FLAIR MR.
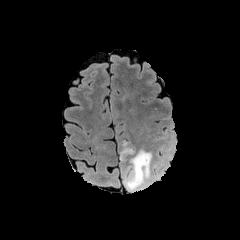
T1-weighted MR image.
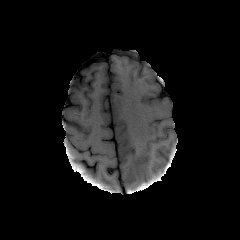
Post-contrast T1-weighted MRI.
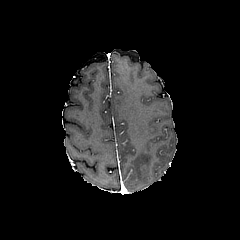
T2-weighted magnetic resonance.
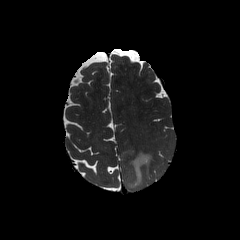
Head, Image size 240x240
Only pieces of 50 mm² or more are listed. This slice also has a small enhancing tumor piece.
The 2 largest peritumoral edema regions are bounded by region(120, 141, 156, 192); region(152, 158, 161, 168).